Head
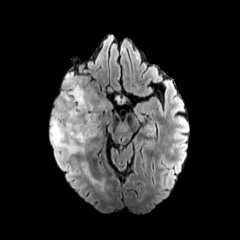
FLAIR magnetic resonance.
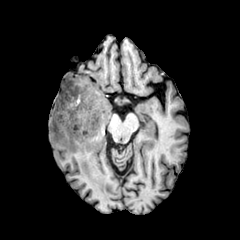
T1-weighted MRI.
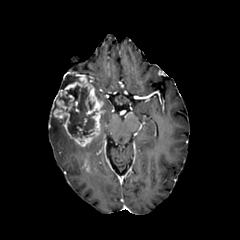
Post-contrast T1-weighted MRI of the same slice.
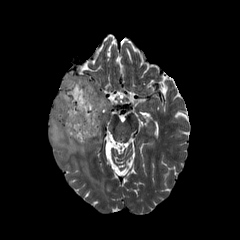
T2-weighted MR of the same slice.
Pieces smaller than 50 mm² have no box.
enhancing tumor: box(83, 160, 90, 172); box(53, 75, 103, 146) | peritumoral edema: box(83, 168, 98, 182); box(50, 115, 84, 156); box(63, 74, 79, 89) | necrotic tumor core: box(58, 85, 94, 137)